Image size 240x240
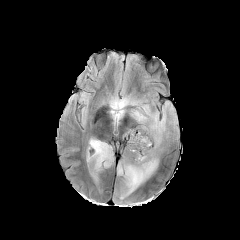
FLAIR MR image.
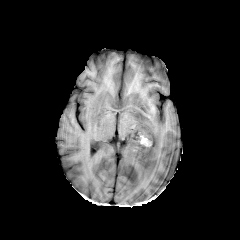
T1-weighted magnetic resonance.
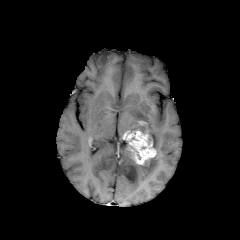
Same slice, post-contrast T1-weighted MR image.
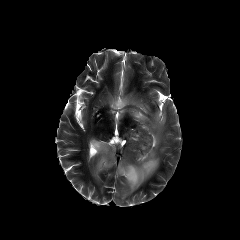
T2-weighted MR image.
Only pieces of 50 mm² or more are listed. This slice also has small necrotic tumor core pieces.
{
  "enhancing_tumor": [
    "region(123, 130, 156, 165)"
  ],
  "peritumoral_edema": [
    "region(117, 155, 158, 196)",
    "region(87, 138, 113, 171)",
    "region(109, 96, 166, 150)"
  ]
}